FLAIR MRI.
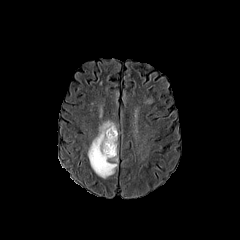
T1-weighted magnetic resonance.
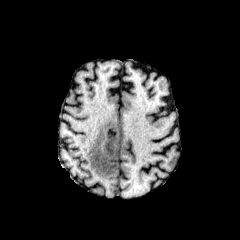
Post-contrast T1-weighted MR.
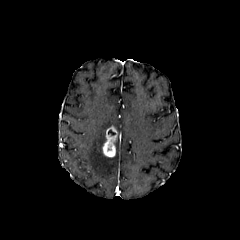
T2-weighted MRI.
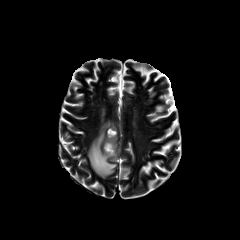
Axial plane. Head.
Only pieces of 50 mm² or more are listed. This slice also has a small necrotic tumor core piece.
The enhancing tumor is located at 102:126:117:157. The peritumoral edema is bounded by 87:120:118:178.